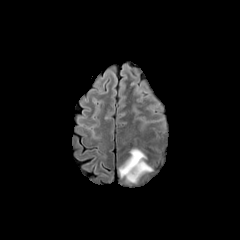
FLAIR MR image.
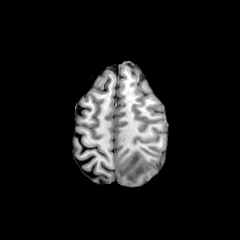
T1-weighted MR of the same slice.
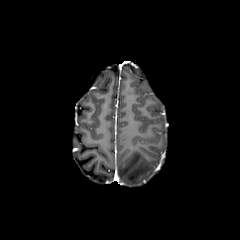
Post-contrast T1-weighted MR of the same slice.
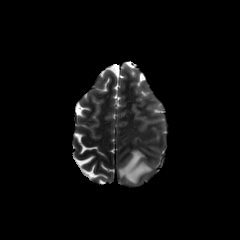
T2-weighted MR image of the same slice.
Brain
peritumoral edema: bounding box 119 149 152 183